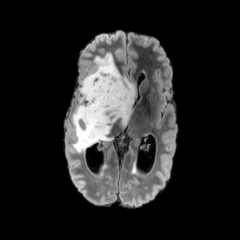
FLAIR MR.
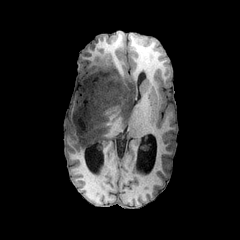
Same slice, T1-weighted magnetic resonance.
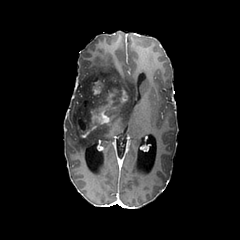
Same slice, post-contrast T1-weighted magnetic resonance.
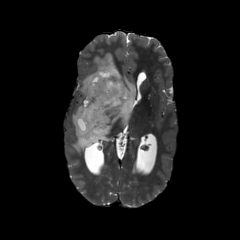
Same slice, T2-weighted magnetic resonance.
Image size 240x240
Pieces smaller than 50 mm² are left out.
Annotated regions:
• necrotic tumor core: 78, 120, 85, 130
• enhancing tumor: 91, 93, 114, 124; 91, 71, 105, 94; 76, 118, 96, 137; 121, 90, 127, 102
• peritumoral edema: 72, 53, 135, 152